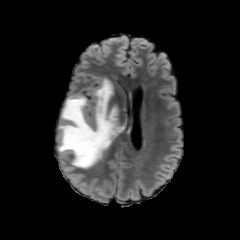
FLAIR MRI.
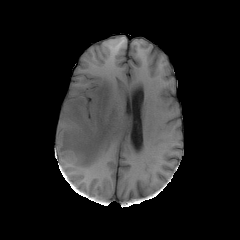
Same slice, T1-weighted MRI.
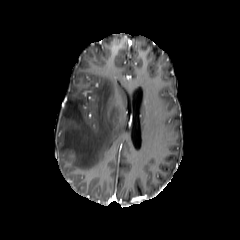
Post-contrast T1-weighted MR image of the same slice.
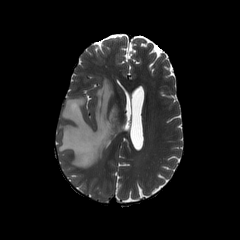
T2-weighted MR.
Brain
peritumoral edema: 58, 78, 122, 168